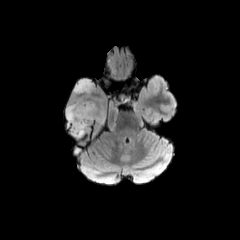
FLAIR magnetic resonance.
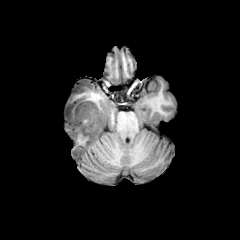
T1-weighted MRI.
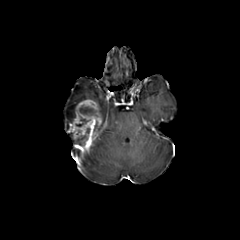
Post-contrast T1-weighted MR image.
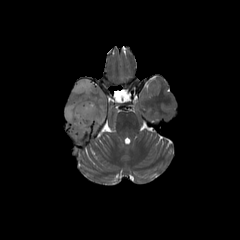
Same slice, T2-weighted MR.
240x240 px, Axial view
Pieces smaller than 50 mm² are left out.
<segmentation>
  <peritumoral_edema>(74,79,93,94), (66,100,82,122)</peritumoral_edema>
  <necrotic_tumor_core>(80,107,93,114)</necrotic_tumor_core>
  <enhancing_tumor>(69,99,102,140)</enhancing_tumor>
</segmentation>